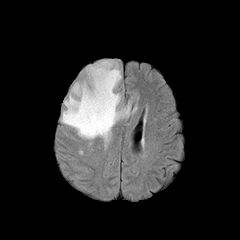
FLAIR MR.
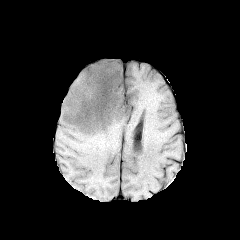
Same slice, T1-weighted magnetic resonance.
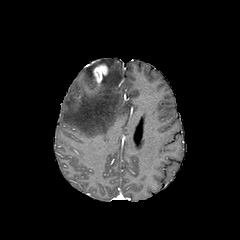
Same slice, post-contrast T1-weighted magnetic resonance.
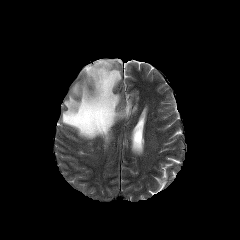
T2-weighted MR of the same slice.
240x240. Head.
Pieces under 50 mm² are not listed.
<segmentation>
  <peritumoral_edema>rect(61, 60, 130, 142)</peritumoral_edema>
  <enhancing_tumor>rect(85, 64, 107, 93)</enhancing_tumor>
</segmentation>